FLAIR MR image.
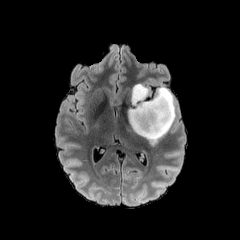
T1-weighted MRI.
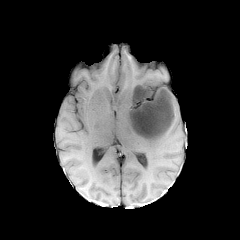
Post-contrast T1-weighted magnetic resonance.
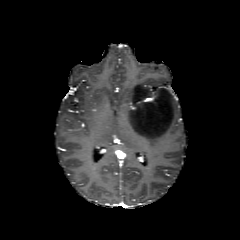
T2-weighted MR.
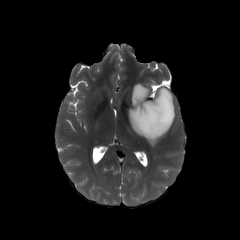
Axial slice
<segmentation>
  <peritumoral_edema>box(128, 83, 175, 145)</peritumoral_edema>
</segmentation>